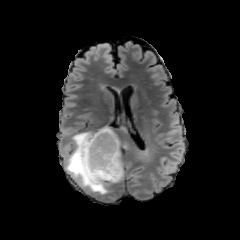
FLAIR magnetic resonance.
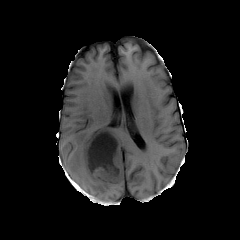
T1-weighted MR of the same slice.
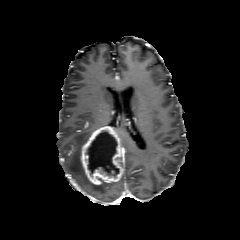
Same slice, post-contrast T1-weighted MRI.
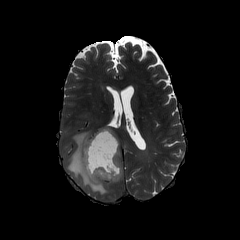
Same slice, T2-weighted MR.
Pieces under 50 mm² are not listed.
enhancing tumor: left=80, top=125, right=123, bottom=185 | peritumoral edema: left=65, top=131, right=108, bottom=194 | necrotic tumor core: left=86, top=131, right=118, bottom=176